Brain. Axial view. Image covers 240 mm x 240 mm.
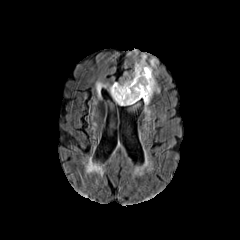
FLAIR MRI.
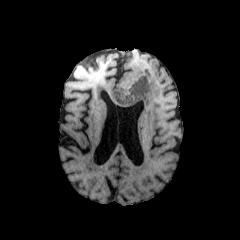
Same slice, T1-weighted magnetic resonance.
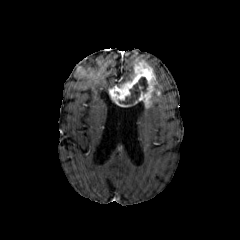
Same slice, post-contrast T1-weighted MR image.
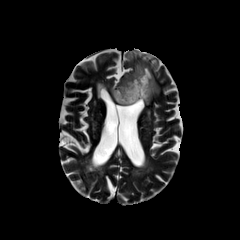
T2-weighted MR of the same slice.
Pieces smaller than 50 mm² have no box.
The necrotic tumor core lies within 119 77 147 104. The 2 largest peritumoral edema regions appear at 150 58 157 75, 109 54 146 88. The largest enhancing tumor region appears at 109 60 159 107.